Axial view
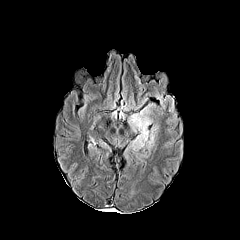
FLAIR magnetic resonance.
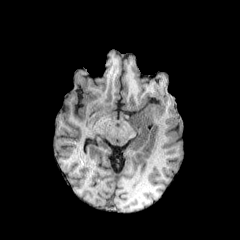
T1-weighted magnetic resonance.
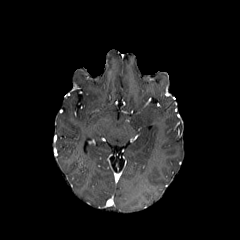
Post-contrast T1-weighted magnetic resonance.
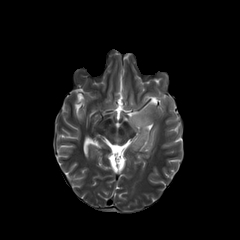
Same slice, T2-weighted magnetic resonance.
The peritumoral edema is bounded by box=[129, 105, 157, 149].